FLAIR magnetic resonance.
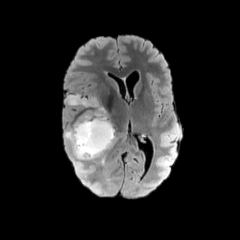
T1-weighted MRI.
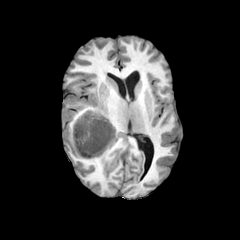
Post-contrast T1-weighted MR.
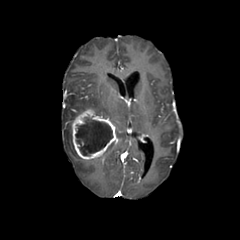
T2-weighted MRI.
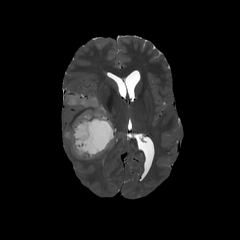
240x240 px. Head. Axial view.
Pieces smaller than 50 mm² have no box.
{"peritumoral_edema": ["(67,94,106,117)", "(65,130,81,158)"], "enhancing_tumor": ["(72,109,117,159)"], "necrotic_tumor_core": ["(75,118,112,155)"]}